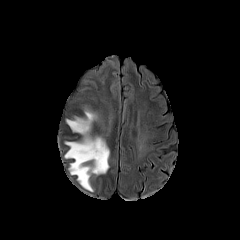
FLAIR MRI.
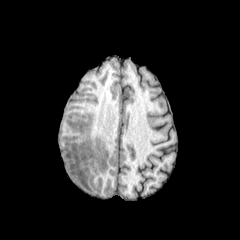
Same slice, T1-weighted MRI.
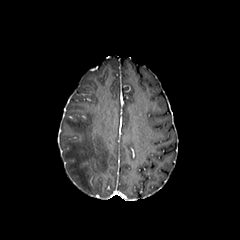
Post-contrast T1-weighted MRI of the same slice.
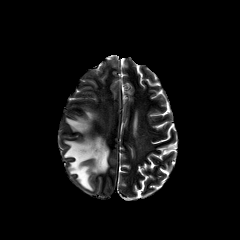
T2-weighted MR of the same slice.
Head. 240x240 px. Axial plane.
The peritumoral edema is located at left=64, top=108, right=109, bottom=191.